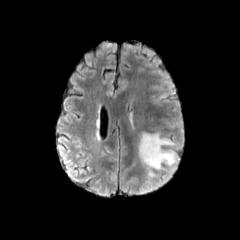
FLAIR MR.
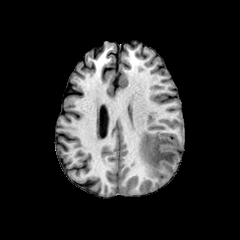
Same slice, T1-weighted MR.
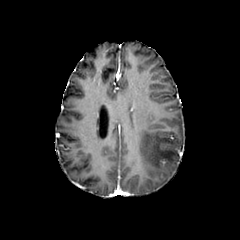
Post-contrast T1-weighted MRI.
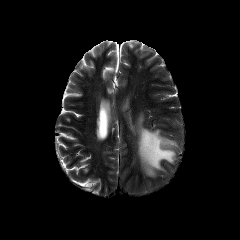
T2-weighted MRI of the same slice.
peritumoral_edema:
  - 138,132,175,176